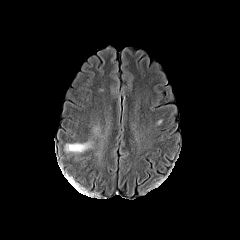
FLAIR MRI.
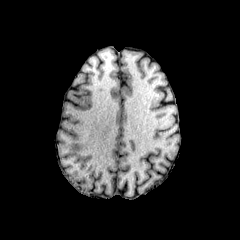
T1-weighted MRI of the same slice.
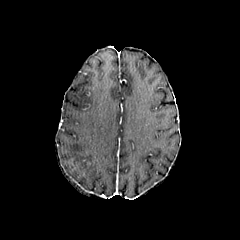
Same slice, post-contrast T1-weighted MRI.
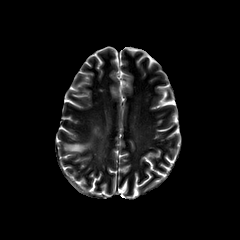
T2-weighted MR image of the same slice.
Axial slice | Head
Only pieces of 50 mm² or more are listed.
peritumoral_edema:
  - box=[65, 142, 92, 152]